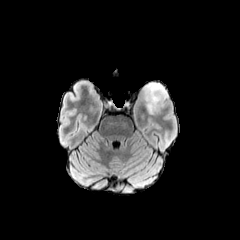
FLAIR MR image.
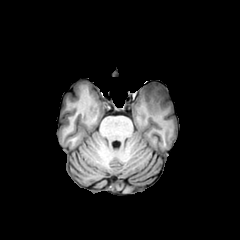
T1-weighted MRI.
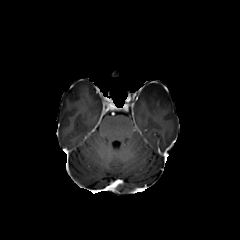
Same slice, post-contrast T1-weighted MR image.
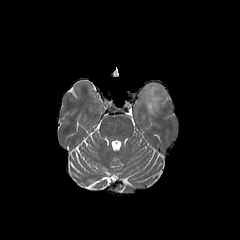
T2-weighted MR of the same slice.
240x240; Brain
peritumoral_edema:
  - x1=143, y1=82, x2=169, y2=114